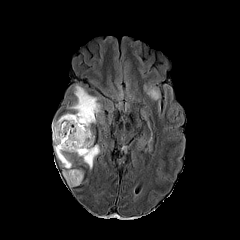
FLAIR magnetic resonance.
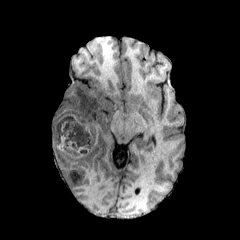
T1-weighted MR image.
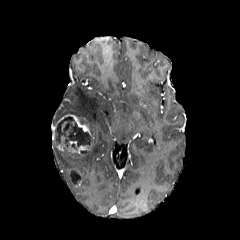
Same slice, post-contrast T1-weighted MR.
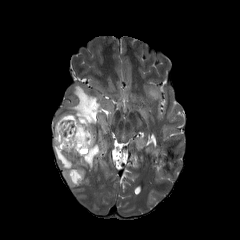
T2-weighted MR.
Brain
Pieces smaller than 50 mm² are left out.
necrotic tumor core: bounding box (x1=73, y1=170, x2=81, y2=184), (x1=55, y1=116, x2=93, y2=151)
enhancing tumor: bounding box (x1=52, y1=114, x2=90, y2=139), (x1=66, y1=141, x2=91, y2=153)
peritumoral edema: bounding box (x1=69, y1=85, x2=100, y2=130), (x1=78, y1=144, x2=100, y2=169), (x1=144, y1=86, x2=160, y2=100), (x1=53, y1=139, x2=77, y2=186)